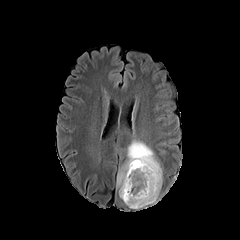
FLAIR magnetic resonance.
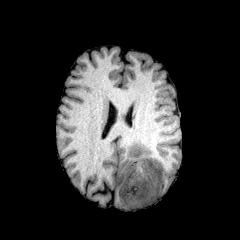
Same slice, T1-weighted magnetic resonance.
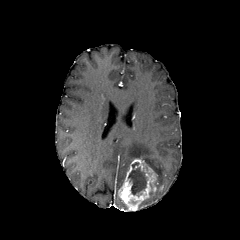
Post-contrast T1-weighted MR image.
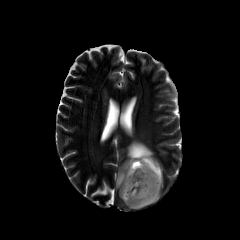
Same slice, T2-weighted MR.
240x240; Brain
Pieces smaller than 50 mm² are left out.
necrotic tumor core = [128,162,146,194], [139,196,155,206]
enhancing tumor = [118,159,158,210]
peritumoral edema = [116,140,162,198]